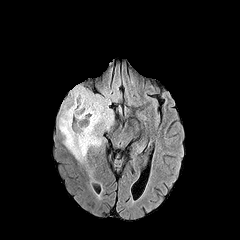
FLAIR MRI.
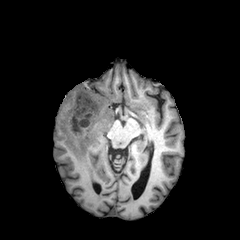
T1-weighted MRI.
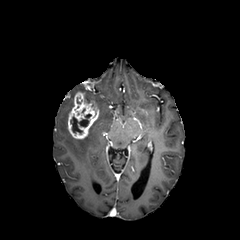
Post-contrast T1-weighted MR image.
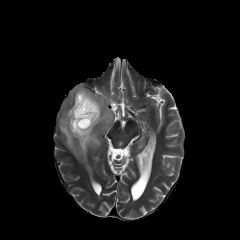
T2-weighted MRI.
240x240 px; Head
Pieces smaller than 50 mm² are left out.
{
  "enhancing_tumor": [
    "(x1=68, y1=92, x2=99, y2=139)"
  ],
  "necrotic_tumor_core": [
    "(x1=71, y1=114, x2=91, y2=133)"
  ],
  "peritumoral_edema": [
    "(x1=59, y1=85, x2=113, y2=162)"
  ]
}